Image width 240 mm, 1.00 mm slice spacing, Brain
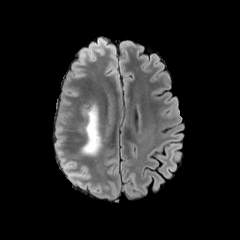
FLAIR MRI.
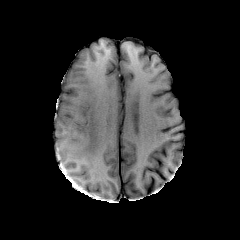
Same slice, T1-weighted MR.
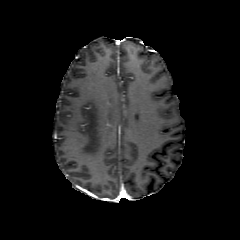
Post-contrast T1-weighted MR of the same slice.
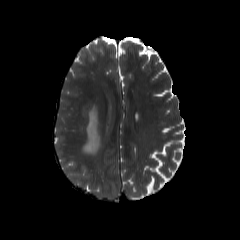
T2-weighted MRI of the same slice.
The peritumoral edema is bounded by (81,104,100,155).